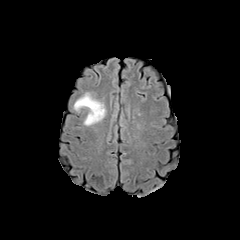
FLAIR MR image.
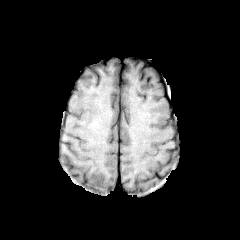
Same slice, T1-weighted MR.
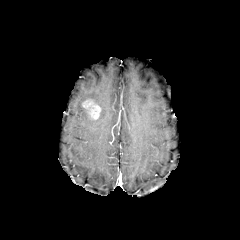
Same slice, post-contrast T1-weighted magnetic resonance.
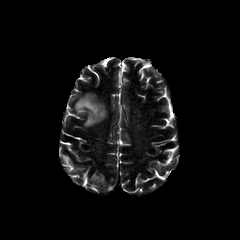
T2-weighted MRI of the same slice.
240x240. Brain.
The peritumoral edema lies within (x1=74, y1=93, x2=106, y2=126). The enhancing tumor is located at (x1=82, y1=100, x2=100, y2=119).